FLAIR MR.
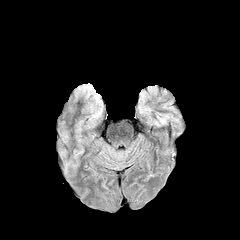
T1-weighted MRI.
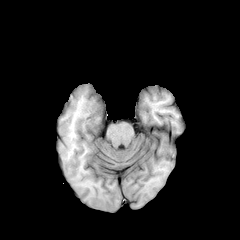
Post-contrast T1-weighted magnetic resonance.
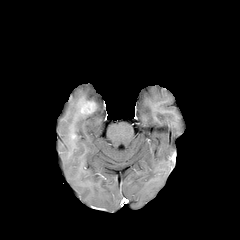
T2-weighted MR image.
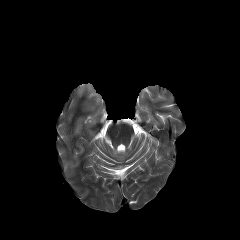
Brain | Axial plane
enhancing tumor = [81, 101, 96, 113]